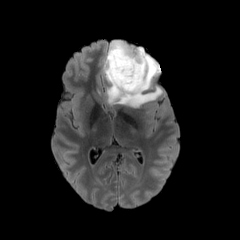
FLAIR MR.
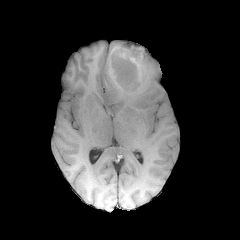
T1-weighted MR.
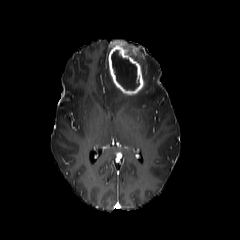
Post-contrast T1-weighted MR.
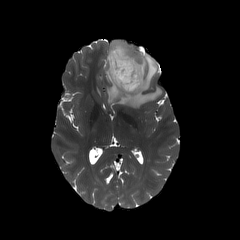
T2-weighted MRI.
Axial slice | Image size 240x240 | Brain
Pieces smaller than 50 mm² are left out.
Annotated regions:
- necrotic tumor core: <bbox>111, 50, 139, 89</bbox>
- peritumoral edema: <bbox>103, 47, 162, 108</bbox>
- enhancing tumor: <bbox>108, 40, 144, 95</bbox>